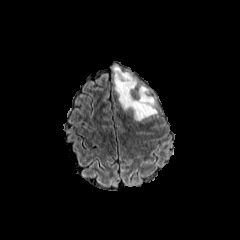
FLAIR MR image.
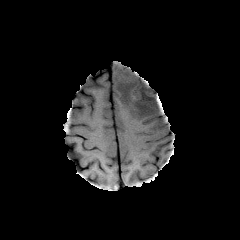
T1-weighted magnetic resonance of the same slice.
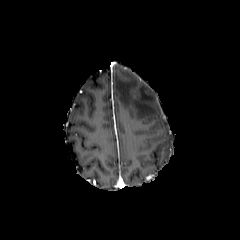
Same slice, post-contrast T1-weighted MR.
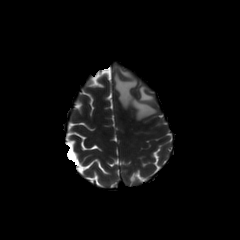
Same slice, T2-weighted MR.
peritumoral edema: bounding box x1=113, y1=66, x2=157, y2=121